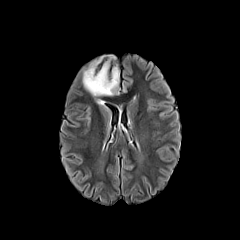
FLAIR MR.
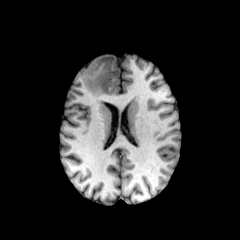
T1-weighted magnetic resonance.
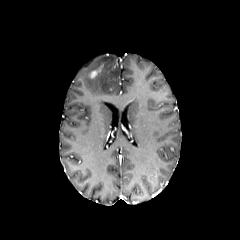
Post-contrast T1-weighted magnetic resonance.
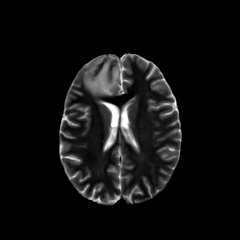
Same slice, T2-weighted MR image.
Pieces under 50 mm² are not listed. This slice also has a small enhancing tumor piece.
The peritumoral edema is bounded by [x1=83, y1=55, x2=119, y2=96].